Slice 94 of 155. Axial slice.
FLAIR MR.
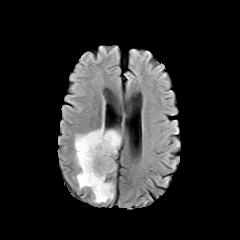
T1-weighted MR.
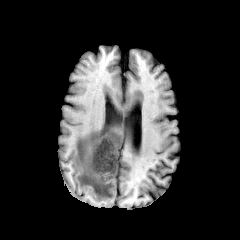
Post-contrast T1-weighted MR.
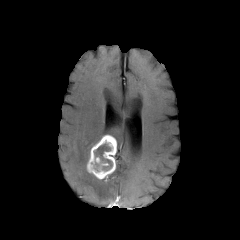
T2-weighted MR image.
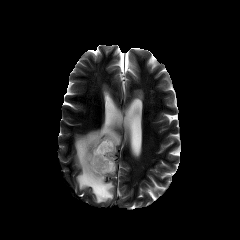
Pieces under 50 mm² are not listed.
The largest peritumoral edema region lies within {"x1": 74, "y1": 122, "x2": 121, "y2": 203}. The largest necrotic tumor core region is located at {"x1": 95, "y1": 144, "x2": 110, "y2": 159}. The enhancing tumor appears at {"x1": 86, "y1": 134, "x2": 116, "y2": 179}.